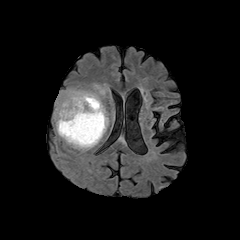
FLAIR MRI.
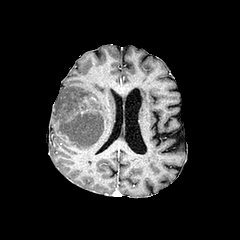
T1-weighted MR.
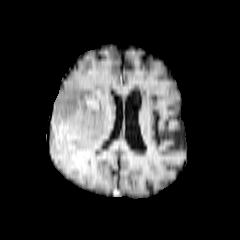
Post-contrast T1-weighted MR image.
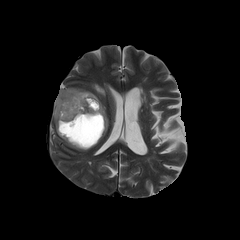
T2-weighted MR.
Brain, Image size 240x240, Axial slice
peritumoral edema: bbox=[54, 84, 108, 150] | necrotic tumor core: bbox=[59, 114, 103, 145] | enhancing tumor: bbox=[82, 95, 98, 109]